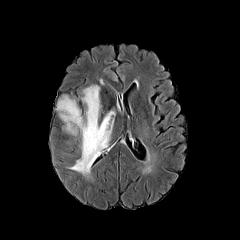
FLAIR MRI.
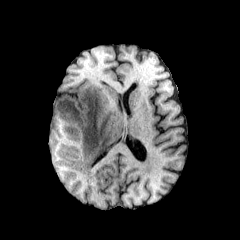
T1-weighted magnetic resonance.
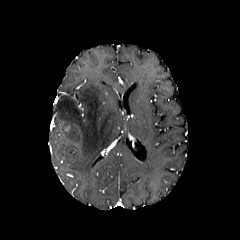
Post-contrast T1-weighted MRI of the same slice.
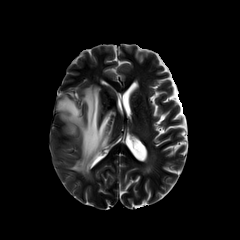
T2-weighted MR.
The peritumoral edema lies within 56, 85, 115, 174.